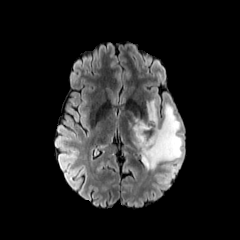
FLAIR MR.
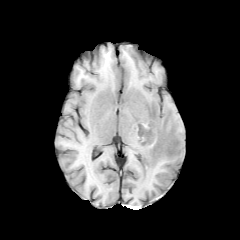
T1-weighted MR image.
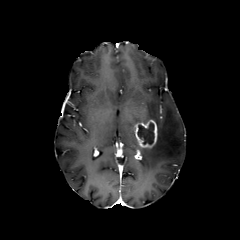
Post-contrast T1-weighted magnetic resonance.
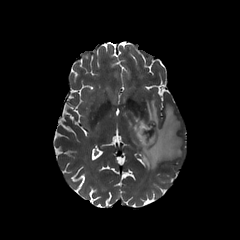
T2-weighted MR image of the same slice.
Axial view
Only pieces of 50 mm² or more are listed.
necrotic tumor core: bounding box bbox(137, 121, 154, 144)
enhancing tumor: bounding box bbox(134, 120, 157, 158)
peritumoral edema: bounding box bbox(140, 100, 183, 171); bbox(128, 122, 139, 148); bbox(128, 110, 147, 124)